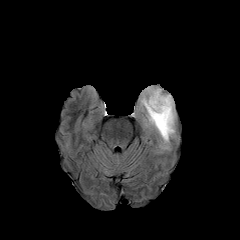
FLAIR magnetic resonance.
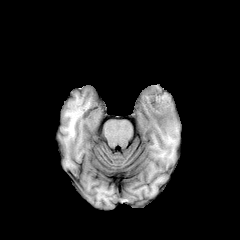
T1-weighted MRI.
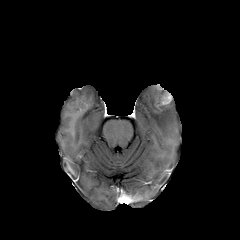
Post-contrast T1-weighted magnetic resonance.
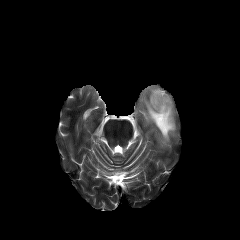
T2-weighted MR of the same slice.
Brain
peritumoral edema at <bbox>140, 85, 175, 148</bbox>
enhancing tumor at <bbox>160, 93, 172, 104</bbox>